FLAIR MRI.
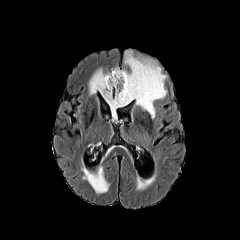
T1-weighted MR image.
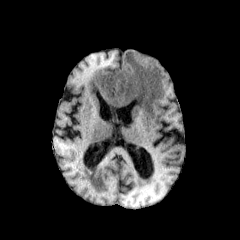
Post-contrast T1-weighted magnetic resonance.
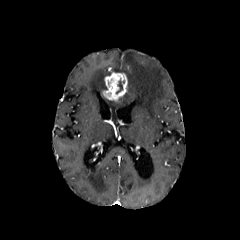
T2-weighted magnetic resonance.
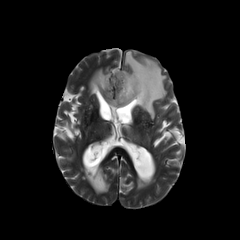
Axial view, 240x240, Head
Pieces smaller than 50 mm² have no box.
necrotic tumor core: bounding box 116:79:122:93
peritumoral edema: bounding box 88:68:109:94, 83:166:109:193, 105:51:166:118
enhancing tumor: bounding box 102:72:127:101